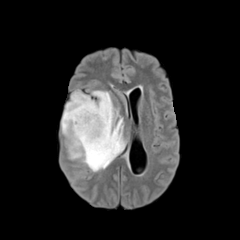
FLAIR MR image.
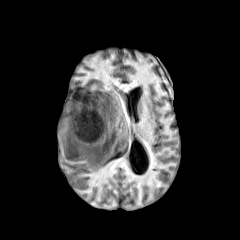
T1-weighted MRI of the same slice.
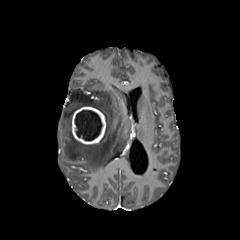
Post-contrast T1-weighted magnetic resonance.
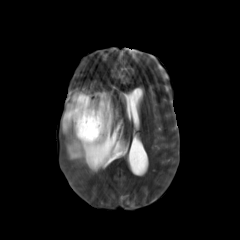
T2-weighted MRI of the same slice.
Axial view
enhancing tumor: 72,106,106,144
peritumoral edema: 61,91,125,171
necrotic tumor core: 75,110,102,140